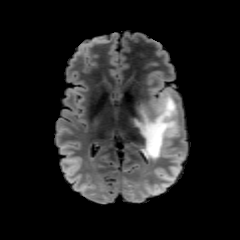
FLAIR MR image.
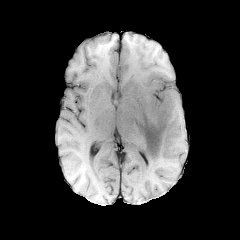
T1-weighted MR image of the same slice.
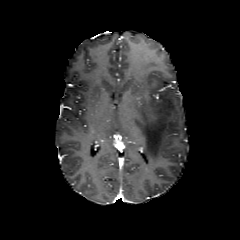
Same slice, post-contrast T1-weighted MR.
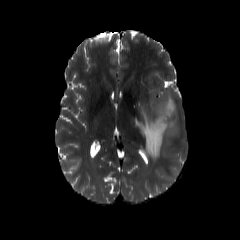
T2-weighted MR.
Axial plane. 240x240. Brain.
The peritumoral edema is located at {"x1": 136, "y1": 91, "x2": 179, "y2": 160}.